Head. Image covers 240 mm x 240 mm.
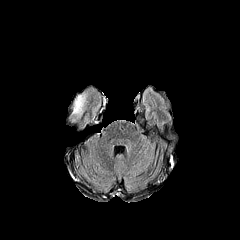
FLAIR MRI.
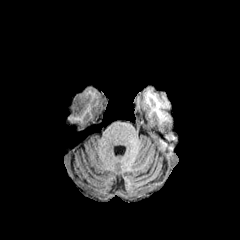
Same slice, T1-weighted magnetic resonance.
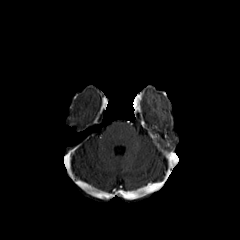
Same slice, post-contrast T1-weighted MRI.
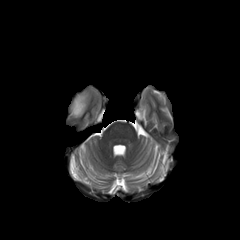
T2-weighted MR.
<segmentation>
  <peritumoral_edema>x1=72, y1=93, x2=86, y2=117</peritumoral_edema>
</segmentation>